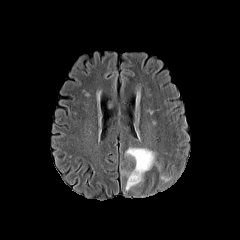
FLAIR MR image.
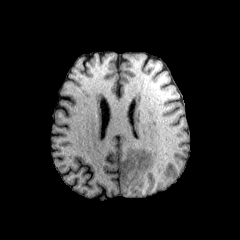
T1-weighted MR image.
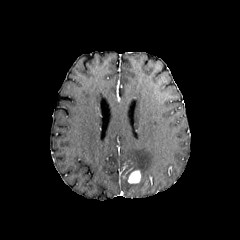
Post-contrast T1-weighted MR image of the same slice.
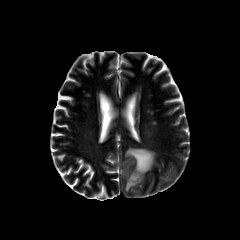
T2-weighted MR image.
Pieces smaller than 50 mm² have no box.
Annotated regions:
* enhancing tumor: x1=128, y1=170, x2=141, y2=183
* peritumoral edema: x1=125, y1=148, x2=155, y2=182; x1=125, y1=179, x2=137, y2=191